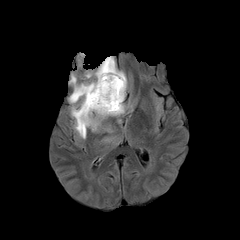
FLAIR magnetic resonance.
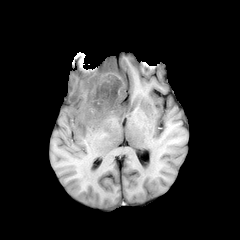
T1-weighted MR image.
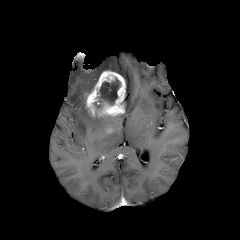
Post-contrast T1-weighted MRI of the same slice.
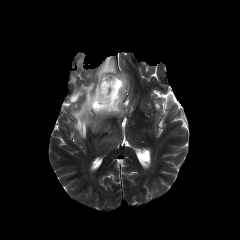
Same slice, T2-weighted MRI.
Axial view, Head
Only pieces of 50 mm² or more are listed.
Findings:
• enhancing tumor: region(83, 70, 126, 117)
• necrotic tumor core: region(93, 77, 120, 112)
• peritumoral edema: region(68, 56, 126, 139)